Head
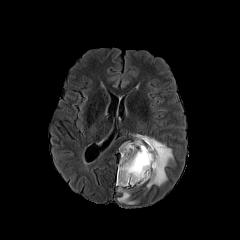
FLAIR magnetic resonance.
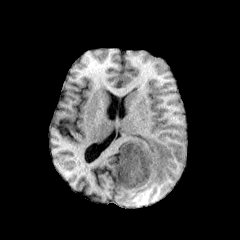
T1-weighted MR image.
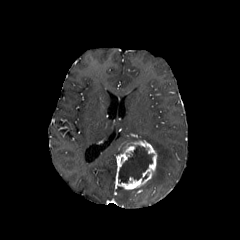
Post-contrast T1-weighted magnetic resonance of the same slice.
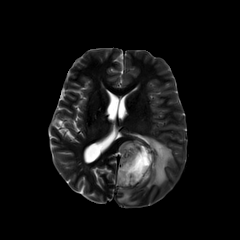
Same slice, T2-weighted magnetic resonance.
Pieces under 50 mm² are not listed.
The largest necrotic tumor core region is bounded by {"x1": 118, "y1": 146, "x2": 152, "y2": 183}. The 2 largest peritumoral edema regions are located at {"x1": 134, "y1": 134, "x2": 173, "y2": 188}, {"x1": 117, "y1": 187, "x2": 135, "y2": 204}. The enhancing tumor is located at {"x1": 116, "y1": 140, "x2": 157, "y2": 189}.